FLAIR magnetic resonance.
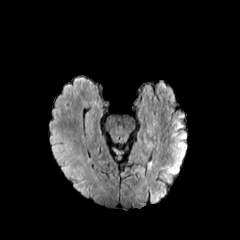
T1-weighted MR image.
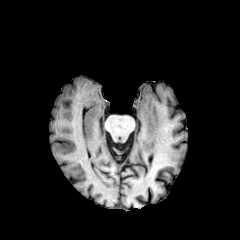
Post-contrast T1-weighted magnetic resonance.
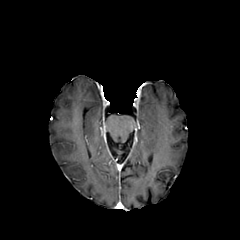
T2-weighted MR image.
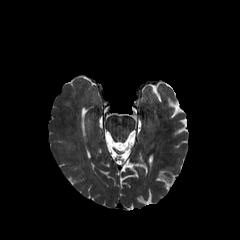
Brain | Axial view
peritumoral edema: 51,141,90,196